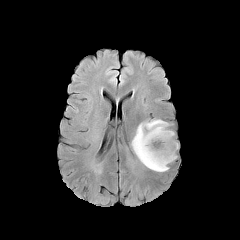
FLAIR MR image.
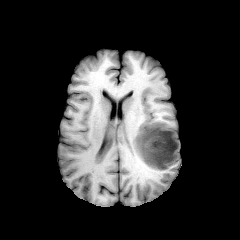
T1-weighted MR of the same slice.
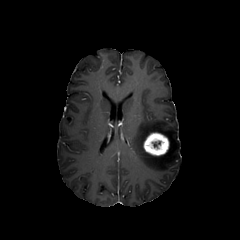
Post-contrast T1-weighted magnetic resonance.
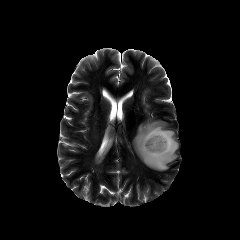
T2-weighted MRI.
Axial view.
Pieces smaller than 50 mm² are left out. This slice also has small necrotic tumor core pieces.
peritumoral edema: (132,119,178,171)
enhancing tumor: (143,132,169,156)